FLAIR MR image.
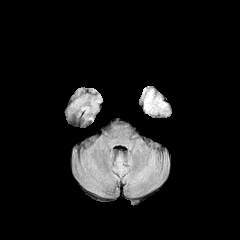
T1-weighted MR image.
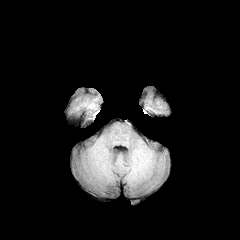
Post-contrast T1-weighted magnetic resonance.
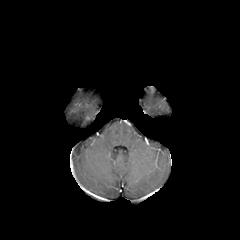
T2-weighted magnetic resonance.
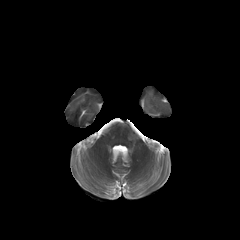
* peritumoral edema: 141, 88, 168, 114